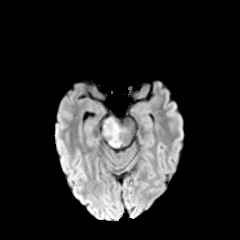
FLAIR MR image.
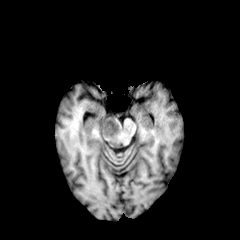
T1-weighted magnetic resonance.
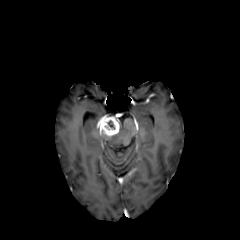
Same slice, post-contrast T1-weighted MR image.
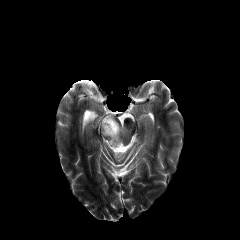
T2-weighted MR image.
Axial slice. Brain.
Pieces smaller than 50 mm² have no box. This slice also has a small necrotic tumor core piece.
{"enhancing_tumor": ["(x1=97, y1=116, x2=119, y2=136)"], "peritumoral_edema": ["(x1=104, y1=127, x2=124, y2=146)"]}